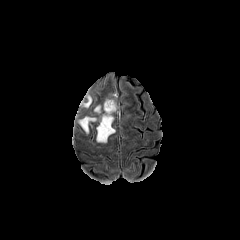
FLAIR magnetic resonance.
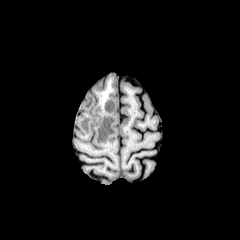
T1-weighted MR image.
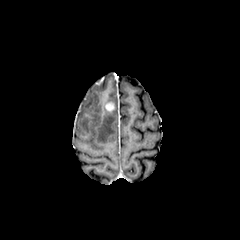
Same slice, post-contrast T1-weighted MR.
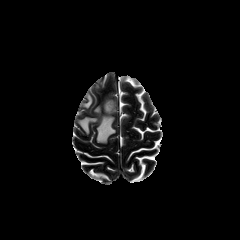
T2-weighted MR image of the same slice.
Brain
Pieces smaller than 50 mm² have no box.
The 3 largest peritumoral edema regions are bounded by [78,116,96,133], [96,99,115,142], [82,94,91,107]. The enhancing tumor lies within [105,102,114,111].